FLAIR MRI.
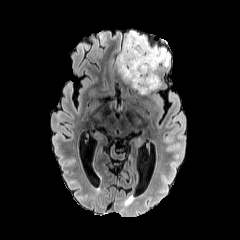
T1-weighted MR.
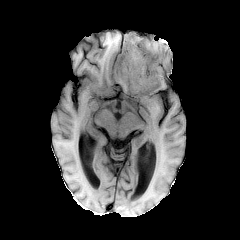
Post-contrast T1-weighted magnetic resonance.
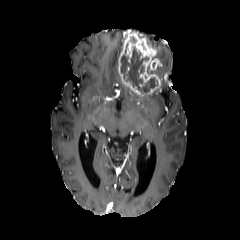
T2-weighted magnetic resonance.
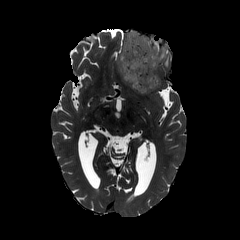
Brain. Axial plane.
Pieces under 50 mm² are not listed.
necrotic tumor core — [120,47,157,93]
enhancing tumor — [118,31,161,95]
peritumoral edema — [147,38,169,66]